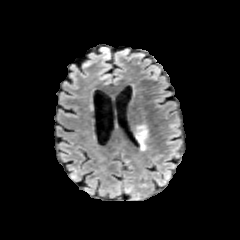
FLAIR magnetic resonance.
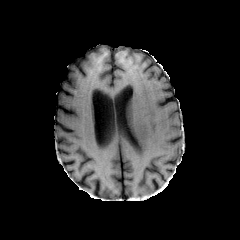
T1-weighted MR of the same slice.
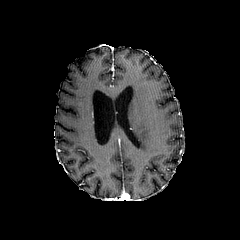
Post-contrast T1-weighted MR image of the same slice.
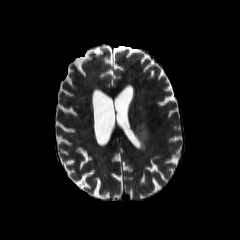
T2-weighted MR image.
Brain | 240x240 px | Axial slice
Findings:
* peritumoral edema: rect(132, 124, 147, 149)